FLAIR magnetic resonance.
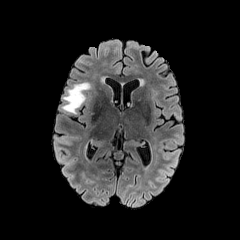
T1-weighted MR.
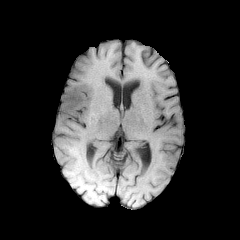
Post-contrast T1-weighted MR image.
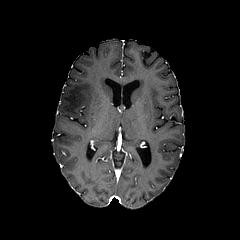
T2-weighted magnetic resonance.
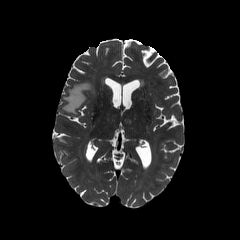
240x240. Axial view.
peritumoral edema: rect(62, 82, 92, 113)